FLAIR MRI.
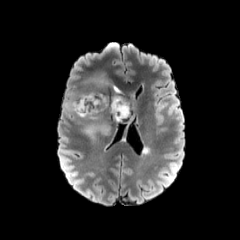
T1-weighted MRI.
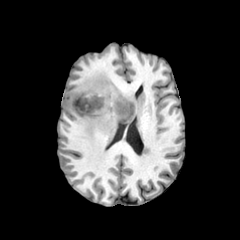
Post-contrast T1-weighted MRI.
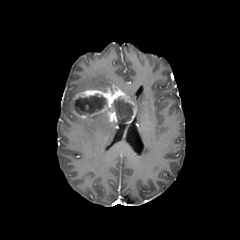
T2-weighted MR image.
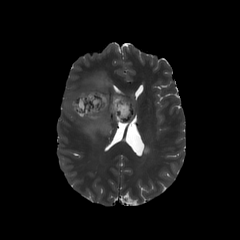
Head; Axial plane; 240x240 px
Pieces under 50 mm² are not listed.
peritumoral edema: bounding box bbox=[83, 117, 110, 139]; bbox=[92, 72, 113, 90]
enhancing tumor: bounding box bbox=[71, 85, 136, 123]
necrotic tumor core: bounding box bbox=[73, 96, 106, 114]; bbox=[113, 98, 132, 122]